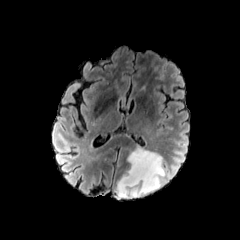
FLAIR magnetic resonance.
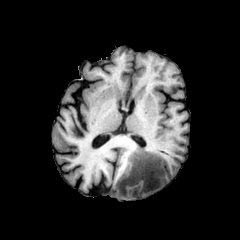
T1-weighted MR image.
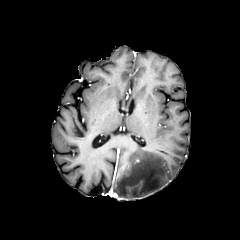
Post-contrast T1-weighted magnetic resonance.
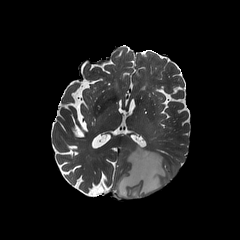
T2-weighted magnetic resonance.
Brain. Axial view.
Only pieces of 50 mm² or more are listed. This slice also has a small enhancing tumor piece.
peritumoral_edema:
  - bbox(115, 144, 165, 198)